FLAIR magnetic resonance.
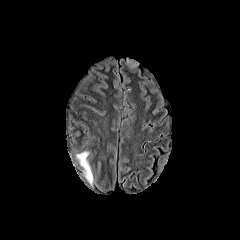
T1-weighted MR.
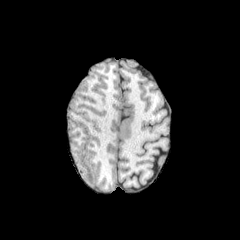
Post-contrast T1-weighted MR image.
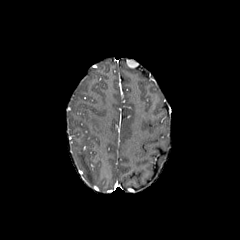
T2-weighted MR.
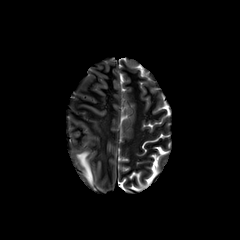
Brain | 240x240 px | Axial view
peritumoral_edema:
  - [x1=77, y1=152, x2=93, y2=183]